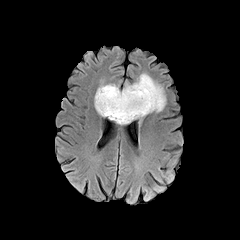
FLAIR magnetic resonance.
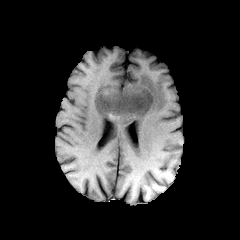
T1-weighted MR image.
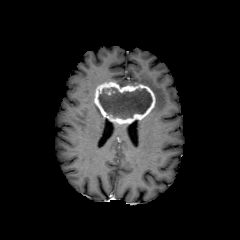
Post-contrast T1-weighted MR of the same slice.
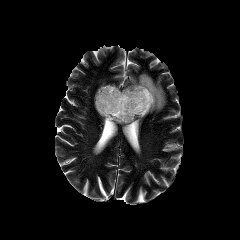
T2-weighted MRI of the same slice.
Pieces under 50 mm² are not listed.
The necrotic tumor core lies within left=99, top=87, right=152, bottom=118. The largest peritumoral edema region is at left=132, top=73, right=166, bottom=112. The largest enhancing tumor region is bounded by left=94, top=82, right=155, bottom=124.